FLAIR MRI.
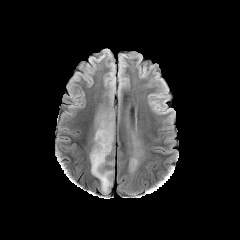
T1-weighted magnetic resonance.
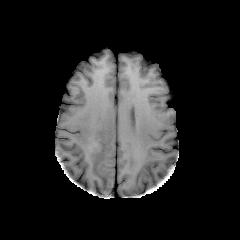
Post-contrast T1-weighted MR image.
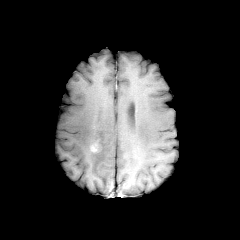
T2-weighted MR image.
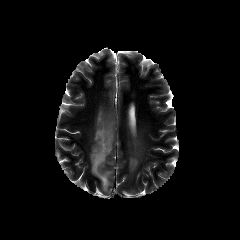
Brain; Image size 240x240; Axial slice
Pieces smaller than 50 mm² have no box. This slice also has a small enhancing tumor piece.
<segmentation>
  <peritumoral_edema>130,158,137,170; 90,117,113,192</peritumoral_edema>
</segmentation>